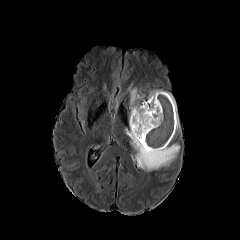
FLAIR magnetic resonance.
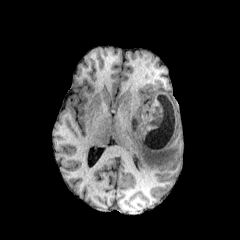
T1-weighted magnetic resonance.
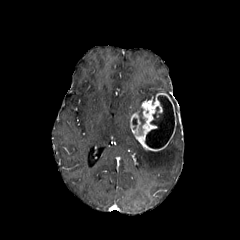
Post-contrast T1-weighted magnetic resonance of the same slice.
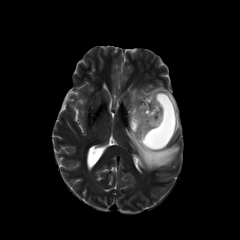
T2-weighted MRI.
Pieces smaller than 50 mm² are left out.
enhancing_tumor:
  - l=130, t=92, r=176, b=151
necrotic_tumor_core:
  - l=145, t=95, r=174, b=148
peritumoral_edema:
  - l=125, t=128, r=179, b=171
  - l=129, t=88, r=145, b=124
  - l=165, t=92, r=179, b=131
  - l=148, t=90, r=164, b=101